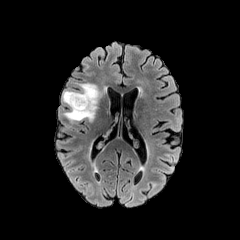
FLAIR MRI.
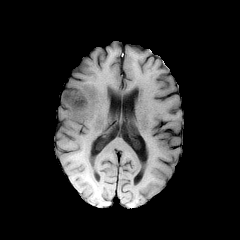
Same slice, T1-weighted MR image.
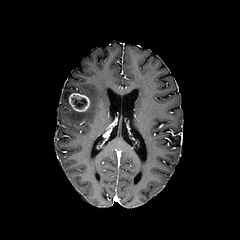
Post-contrast T1-weighted MR image.
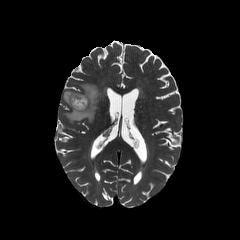
T2-weighted MRI.
Head
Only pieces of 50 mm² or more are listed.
* peritumoral edema: bbox=[62, 83, 102, 122]
* necrotic tumor core: bbox=[72, 98, 86, 108]
* enhancing tumor: bbox=[68, 93, 90, 112]